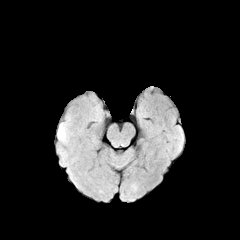
FLAIR MR.
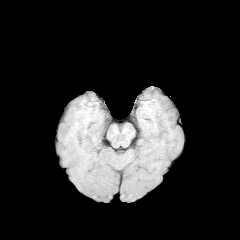
T1-weighted MR.
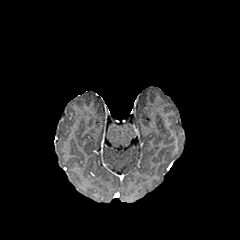
Same slice, post-contrast T1-weighted MRI.
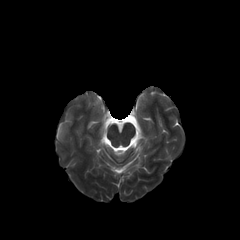
T2-weighted MRI of the same slice.
peritumoral edema: bounding box (57, 116, 70, 142)